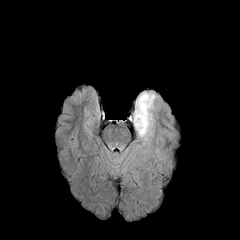
FLAIR MRI.
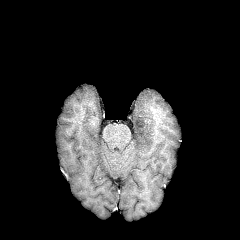
Same slice, T1-weighted magnetic resonance.
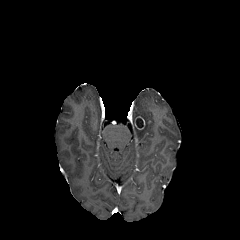
Post-contrast T1-weighted MR image of the same slice.
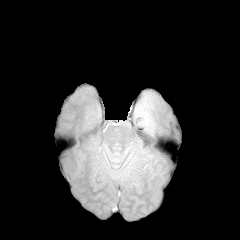
T2-weighted MRI of the same slice.
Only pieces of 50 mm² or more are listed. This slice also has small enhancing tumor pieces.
necrotic tumor core — [136,118,143,128]
peritumoral edema — [133,92,158,139]